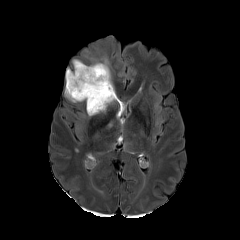
FLAIR MRI.
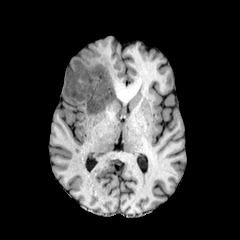
Same slice, T1-weighted magnetic resonance.
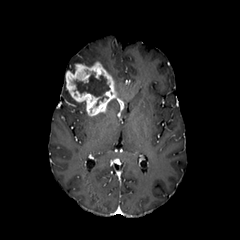
Same slice, post-contrast T1-weighted MR.
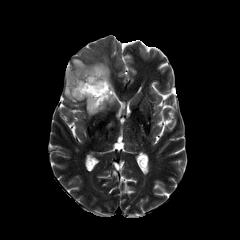
T2-weighted MR.
Head
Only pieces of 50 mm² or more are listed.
enhancing_tumor:
  - [65, 61, 122, 116]
peritumoral_edema:
  - [100, 58, 110, 73]
  - [64, 87, 76, 102]
  - [70, 59, 83, 73]
necrotic_tumor_core:
  - [75, 73, 109, 96]